Brain; Axial plane
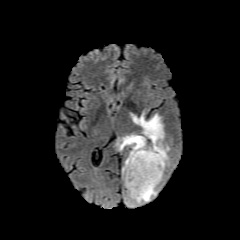
FLAIR MR.
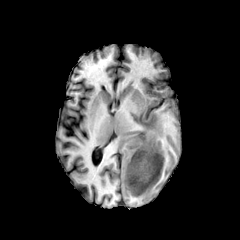
T1-weighted MR.
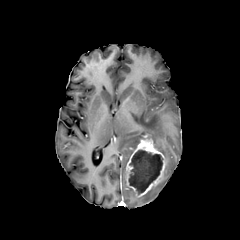
Post-contrast T1-weighted MR of the same slice.
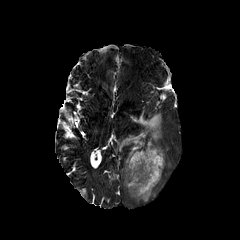
Same slice, T2-weighted MR image.
necrotic tumor core — <box>128,150,162,194</box>
peritumoral edema — <box>117,112,170,185</box>, <box>127,186,156,203</box>
enhancing tumor — <box>125,135,165,197</box>